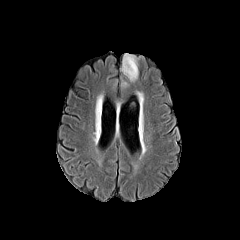
FLAIR MR image.
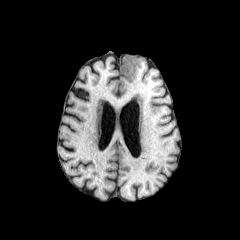
T1-weighted MR.
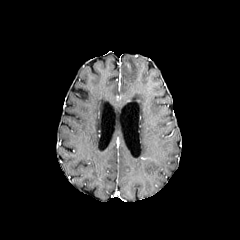
Post-contrast T1-weighted MR.
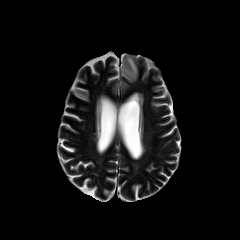
T2-weighted MRI.
240x240 px.
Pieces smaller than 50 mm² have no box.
peritumoral edema at rect(121, 53, 138, 81)